Axial view, 240x240 px, Image width 240 mm, Slice 120/155
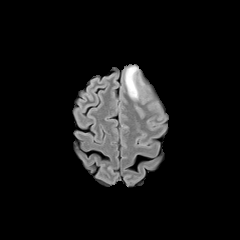
FLAIR magnetic resonance.
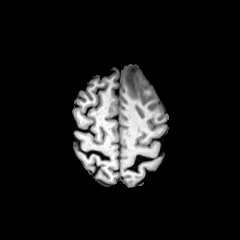
T1-weighted MRI.
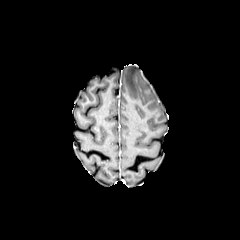
Same slice, post-contrast T1-weighted MRI.
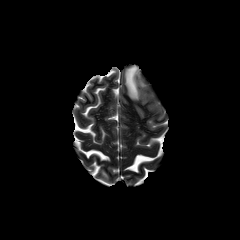
T2-weighted magnetic resonance.
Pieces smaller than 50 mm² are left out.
peritumoral edema: bounding box 125 67 138 99